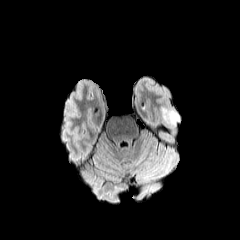
FLAIR magnetic resonance.
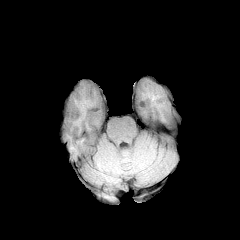
T1-weighted MR image.
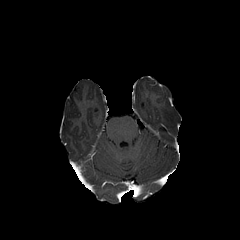
Post-contrast T1-weighted MRI of the same slice.
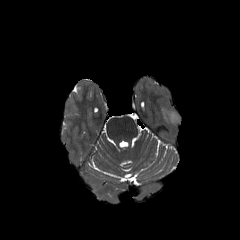
T2-weighted MR image.
Axial slice | Head
Findings:
- peritumoral edema: {"x1": 162, "y1": 108, "x2": 172, "y2": 121}, {"x1": 171, "y1": 111, "x2": 179, "y2": 121}